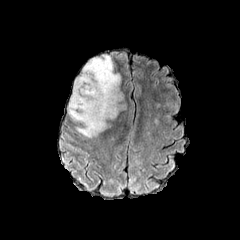
FLAIR MRI.
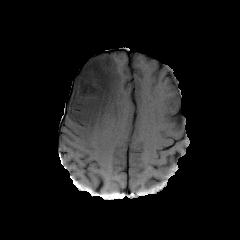
T1-weighted magnetic resonance of the same slice.
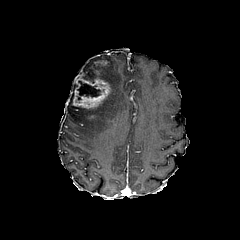
Post-contrast T1-weighted MR image of the same slice.
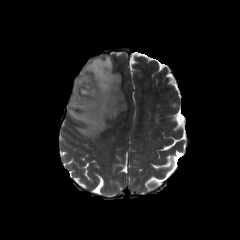
T2-weighted MR image.
240x240 px
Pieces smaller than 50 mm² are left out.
necrotic tumor core = (77,80,100,100)
enhancing tumor = (71,60,110,109)
peritumoral edema = (67,55,127,138)